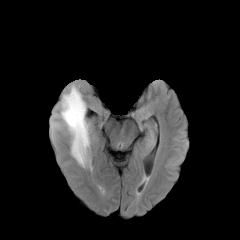
FLAIR MRI.
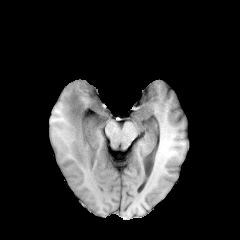
T1-weighted MR image of the same slice.
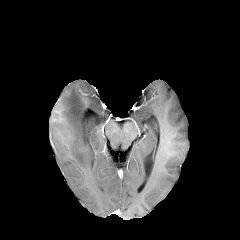
Post-contrast T1-weighted magnetic resonance.
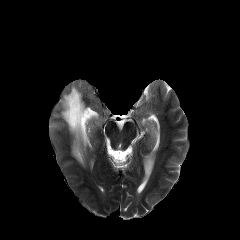
T2-weighted MR image of the same slice.
240x240 px, Axial view
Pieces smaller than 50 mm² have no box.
peritumoral edema: 60:85:89:167